Head; Image width 240 mm, 1.00 mm slice spacing
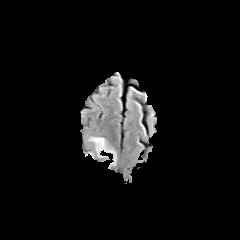
FLAIR MR image.
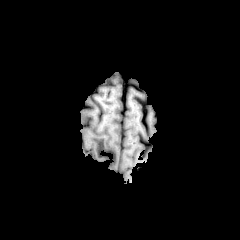
Same slice, T1-weighted MRI.
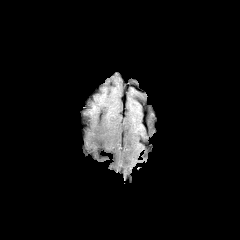
Post-contrast T1-weighted magnetic resonance of the same slice.
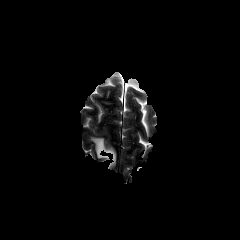
T2-weighted MRI.
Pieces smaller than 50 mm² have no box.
The largest peritumoral edema region is located at (x1=92, y1=137, x2=113, y2=153).